FLAIR MR.
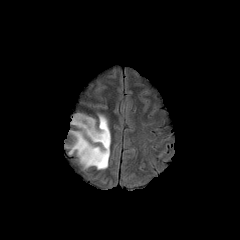
T1-weighted MR.
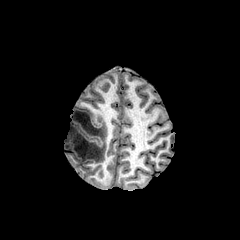
Post-contrast T1-weighted MR.
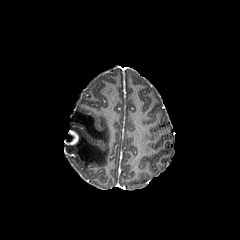
T2-weighted magnetic resonance.
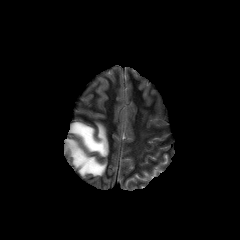
Image size 240x240
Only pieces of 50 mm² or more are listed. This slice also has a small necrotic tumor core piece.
peritumoral edema at left=66, top=114, right=110, bottom=171
enhancing tumor at left=67, top=130, right=78, bottom=144